FLAIR MR.
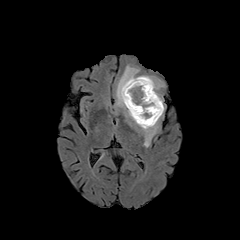
T1-weighted MRI.
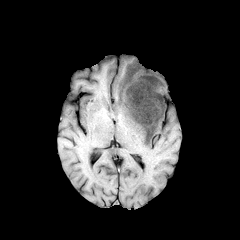
Post-contrast T1-weighted magnetic resonance.
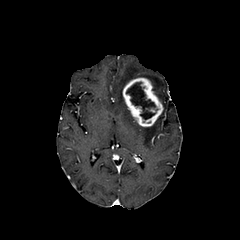
T2-weighted magnetic resonance.
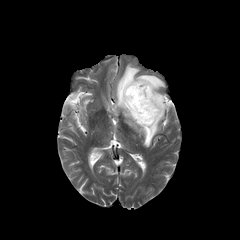
Brain
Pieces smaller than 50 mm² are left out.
The necrotic tumor core is located at (126,82,155,119). The peritumoral edema is located at (115,64,165,147). The largest enhancing tumor region appears at (122,77,163,127).